Slice index 51, Axial plane
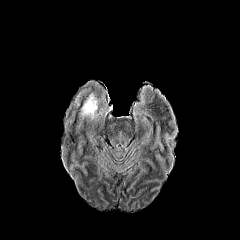
FLAIR magnetic resonance.
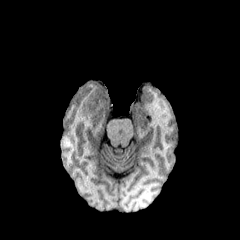
T1-weighted MRI.
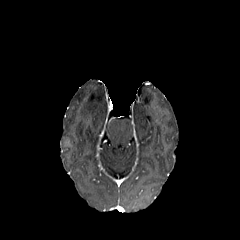
Post-contrast T1-weighted MR image.
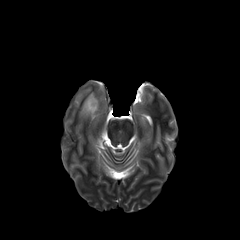
T2-weighted MR.
The peritumoral edema lies within <box>80,94,97,117</box>.